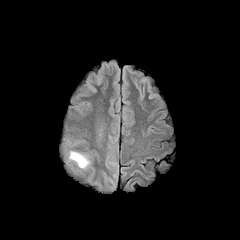
FLAIR MR image.
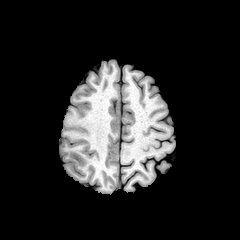
T1-weighted MRI.
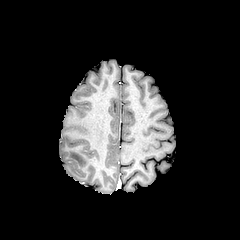
Post-contrast T1-weighted MR.
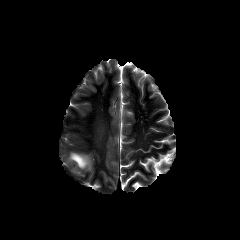
T2-weighted magnetic resonance.
Axial slice
The peritumoral edema is at rect(69, 152, 89, 168).